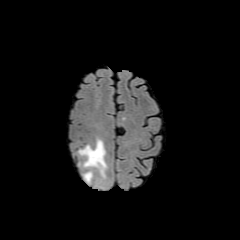
FLAIR MR.
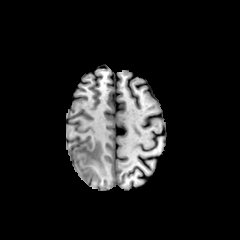
Same slice, T1-weighted MR.
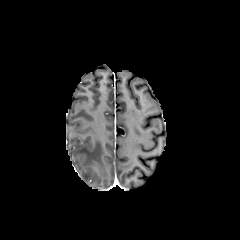
Post-contrast T1-weighted MRI.
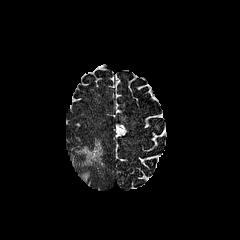
T2-weighted MR.
Brain
peritumoral edema: bounding box (78,139,106,177), (83,171,92,180)